FLAIR MR.
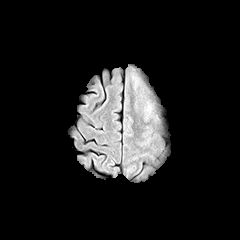
T1-weighted MR image.
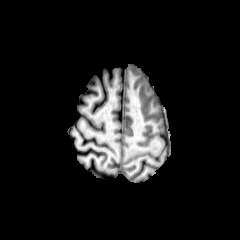
Post-contrast T1-weighted MR.
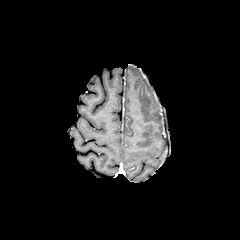
T2-weighted magnetic resonance.
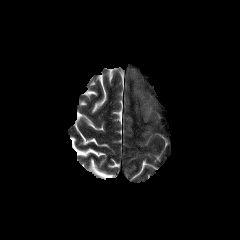
Head; Image size 240x240
peritumoral edema = [131,76,140,91], [143,102,154,123], [134,99,138,112]